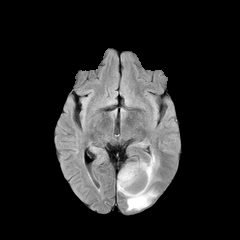
FLAIR magnetic resonance.
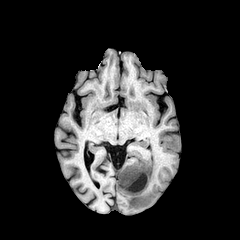
T1-weighted MR.
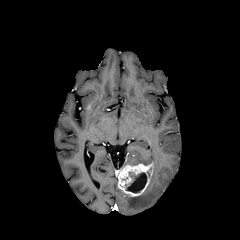
Post-contrast T1-weighted MR.
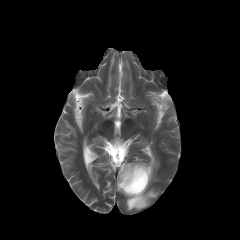
T2-weighted MR of the same slice.
Axial slice
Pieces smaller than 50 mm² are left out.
Segmented structures:
* peritumoral edema: (117, 154, 158, 210)
* necrotic tumor core: (126, 172, 146, 192)
* enhancing tumor: (118, 162, 153, 196)